Brain
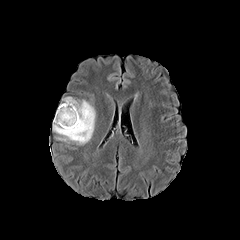
FLAIR MRI.
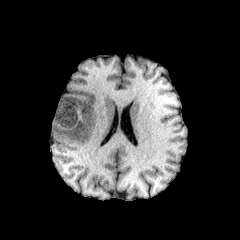
Same slice, T1-weighted MR.
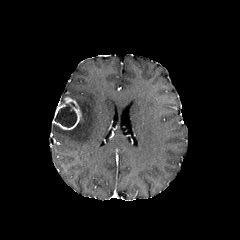
Same slice, post-contrast T1-weighted MR image.
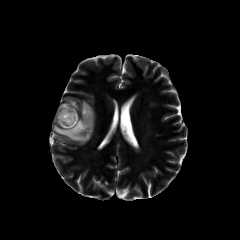
T2-weighted MRI.
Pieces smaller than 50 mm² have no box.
enhancing tumor: [53,97,81,129]
necrotic tumor core: [55,104,76,127]
peritumoral edema: [53,100,95,144]